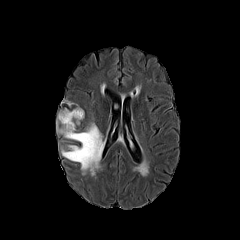
FLAIR MRI.
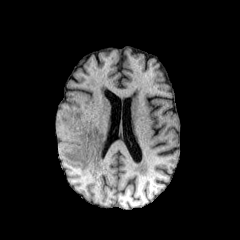
T1-weighted MRI.
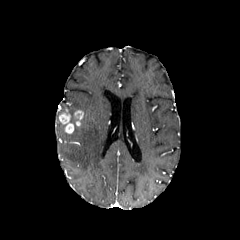
Post-contrast T1-weighted MR image of the same slice.
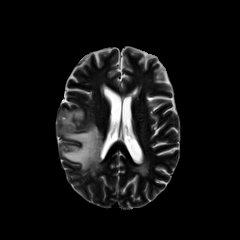
T2-weighted MR.
Brain; Axial slice
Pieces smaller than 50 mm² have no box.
• peritumoral edema: (left=56, top=107, right=104, bottom=175)
• enhancing tumor: (left=73, top=110, right=83, bottom=126), (left=58, top=109, right=74, bottom=133)